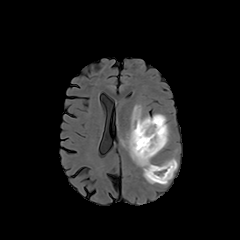
FLAIR magnetic resonance.
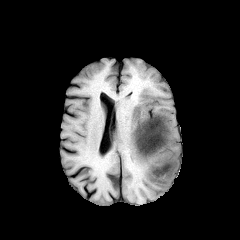
T1-weighted MR image.
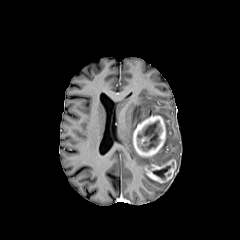
Post-contrast T1-weighted MR image of the same slice.
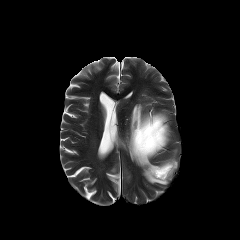
T2-weighted MR image.
Axial view
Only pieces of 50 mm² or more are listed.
enhancing tumor = bbox=[146, 159, 176, 183]; bbox=[132, 115, 166, 157]
necrotic tumor core = bbox=[142, 121, 158, 149]; bbox=[152, 166, 171, 178]
peritumoral edema = bbox=[121, 104, 168, 185]; bbox=[159, 136, 169, 152]